Head | Image width 240 mm, 1.00 mm slice spacing
FLAIR MR.
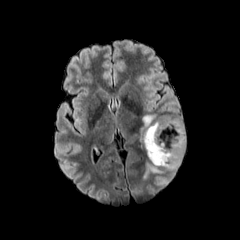
T1-weighted magnetic resonance.
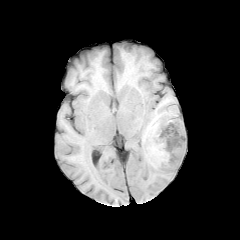
Post-contrast T1-weighted MRI.
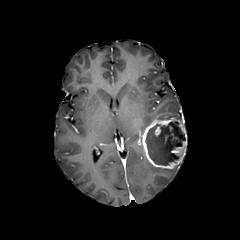
T2-weighted MR.
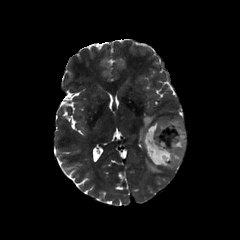
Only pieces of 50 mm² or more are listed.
enhancing tumor = [x1=141, y1=118, x2=187, y2=169]
peritumoral edema = [x1=140, y1=115, x2=155, y2=134], [x1=144, y1=162, x2=177, y2=177]
necrotic tumor core = [x1=145, y1=121, x2=185, y2=165]